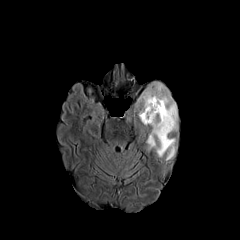
FLAIR MRI.
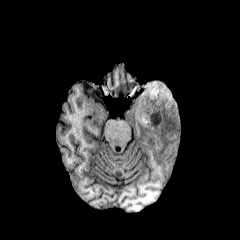
T1-weighted magnetic resonance of the same slice.
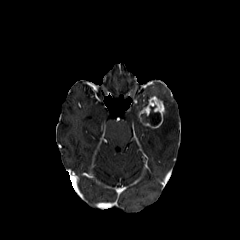
Post-contrast T1-weighted magnetic resonance.
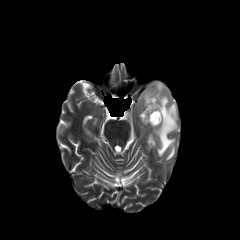
T2-weighted magnetic resonance.
Brain | Axial slice
{"necrotic_tumor_core": ["x1=141, y1=105, x2=160, y2=125"], "enhancing_tumor": ["x1=138, y1=96, x2=165, y2=128"], "peritumoral_edema": ["x1=137, y1=82, x2=177, y2=160"]}